Slice index 103, 240x240 px
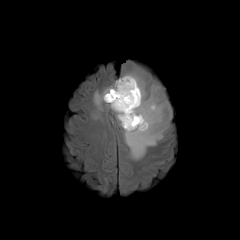
FLAIR MRI.
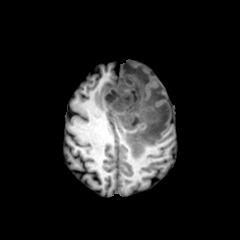
T1-weighted MRI.
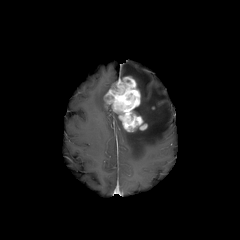
Post-contrast T1-weighted MRI of the same slice.
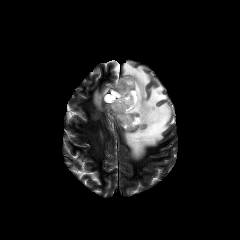
T2-weighted magnetic resonance.
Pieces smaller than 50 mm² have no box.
necrotic tumor core: box=[105, 91, 119, 101] | enhancing tumor: box=[105, 76, 147, 131] | peritumoral edema: box=[93, 86, 110, 110]; box=[113, 63, 171, 159]